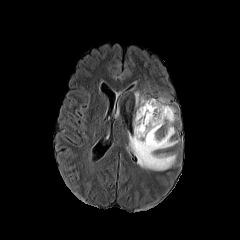
FLAIR MR image.
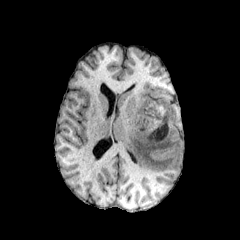
Same slice, T1-weighted MR image.
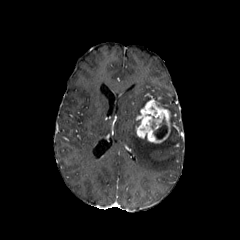
Post-contrast T1-weighted MR image of the same slice.
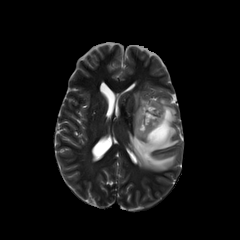
Same slice, T2-weighted MR.
Axial slice | Head
enhancing tumor: [135, 99, 171, 143] | necrotic tumor core: [154, 120, 167, 138] | peritumoral edema: [128, 91, 178, 170]